Brain. Slice 124/155. Axial view. 240x240.
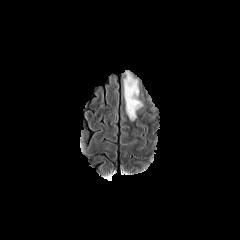
FLAIR magnetic resonance.
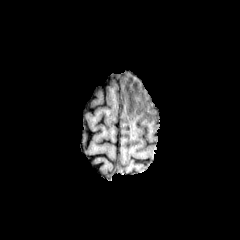
Same slice, T1-weighted MR.
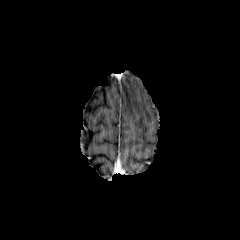
Post-contrast T1-weighted magnetic resonance of the same slice.
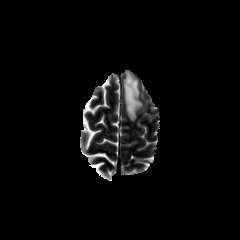
T2-weighted MRI.
The peritumoral edema appears at <box>124,73,142,120</box>.